Slice 79 of 155, Image width 240 mm, 1.00 mm slice spacing, Axial slice
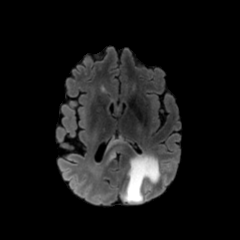
FLAIR MRI.
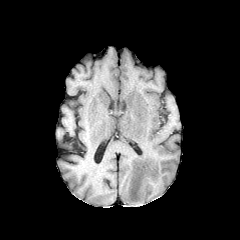
T1-weighted magnetic resonance of the same slice.
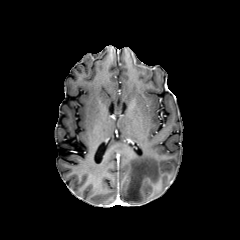
Post-contrast T1-weighted MR.
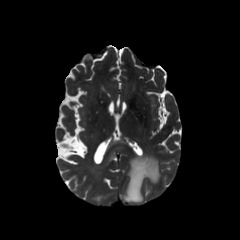
T2-weighted magnetic resonance of the same slice.
3 peritumoral edema regions appear at 106, 146, 123, 163; 123, 155, 159, 203; 105, 136, 126, 151.